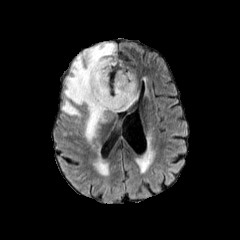
FLAIR magnetic resonance.
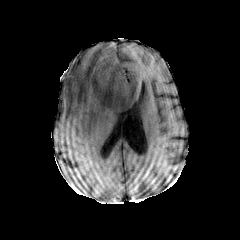
T1-weighted MR.
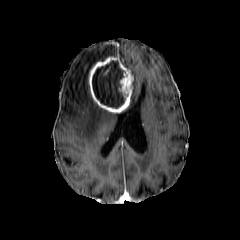
Post-contrast T1-weighted magnetic resonance.
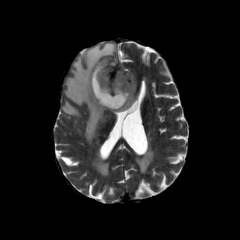
T2-weighted MRI of the same slice.
Axial plane
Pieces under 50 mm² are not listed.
enhancing tumor: (88, 57, 133, 113)
necrotic tumor core: (92, 60, 124, 108)
peritumoral edema: (130, 75, 137, 105), (61, 42, 116, 141)